Axial plane, Slice index 87
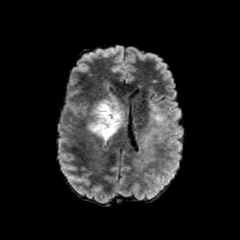
FLAIR MRI.
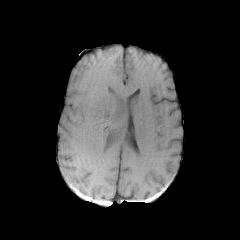
T1-weighted MR image.
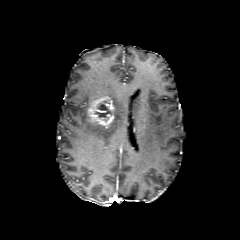
Post-contrast T1-weighted MRI of the same slice.
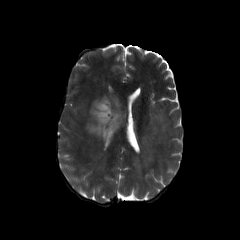
T2-weighted MR image.
enhancing tumor — rect(88, 96, 114, 128)
necrotic tumor core — rect(95, 104, 111, 117)
peritumoral edema — rect(87, 96, 122, 140); rect(133, 102, 179, 172)